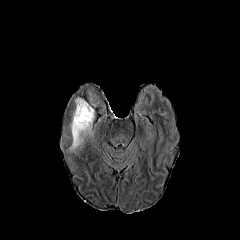
FLAIR MR image.
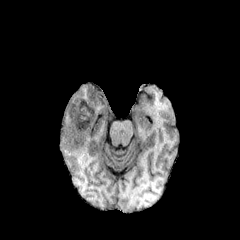
T1-weighted MR.
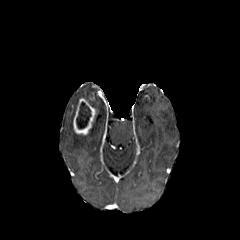
Post-contrast T1-weighted MRI of the same slice.
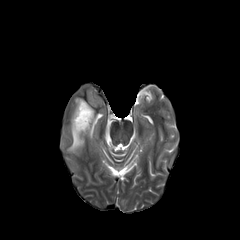
Same slice, T2-weighted magnetic resonance.
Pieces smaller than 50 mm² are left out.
The largest peritumoral edema region lies within (68,110,85,153). The largest necrotic tumor core region appears at (76,102,91,129). The enhancing tumor is at (73,98,95,134).